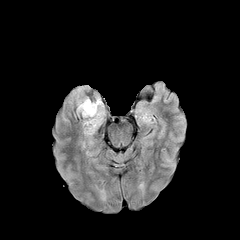
FLAIR MRI.
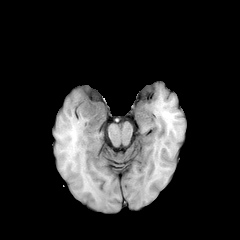
T1-weighted magnetic resonance.
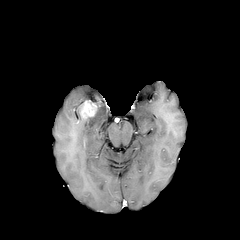
Post-contrast T1-weighted MR image.
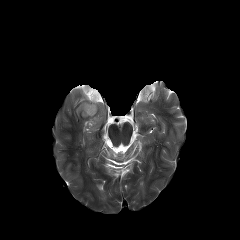
Same slice, T2-weighted magnetic resonance.
Axial view
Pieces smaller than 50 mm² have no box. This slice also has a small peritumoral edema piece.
{
  "enhancing_tumor": [
    "region(79, 97, 100, 119)"
  ]
}